Slice index 45, Brain, Image size 240x240
FLAIR MR.
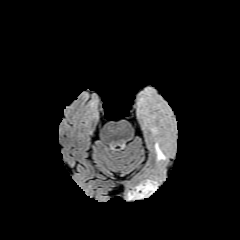
T1-weighted magnetic resonance.
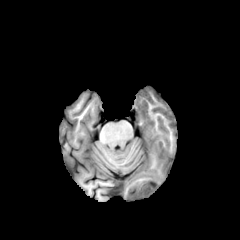
Post-contrast T1-weighted MRI.
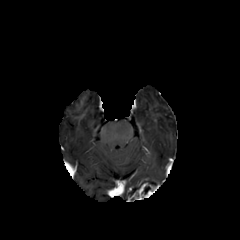
T2-weighted MRI.
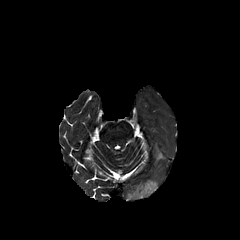
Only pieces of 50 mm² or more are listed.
The largest enhancing tumor region is located at box=[127, 181, 159, 200]. The largest necrotic tumor core region appears at box=[128, 185, 140, 195]. The largest peritumoral edema region lies within box=[155, 143, 165, 160].